Head
FLAIR MR image.
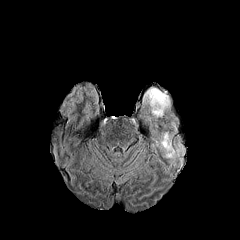
T1-weighted MR image.
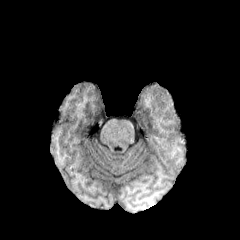
Post-contrast T1-weighted MR image.
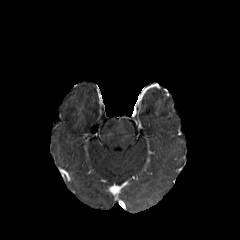
T2-weighted MR.
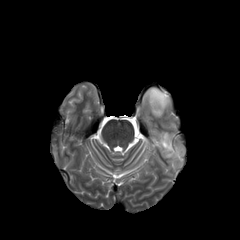
peritumoral edema: (left=160, top=132, right=175, bottom=157), (left=144, top=88, right=170, bottom=117)